FLAIR magnetic resonance.
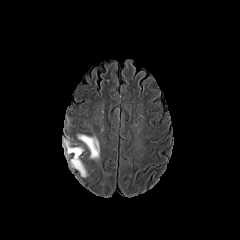
T1-weighted MRI.
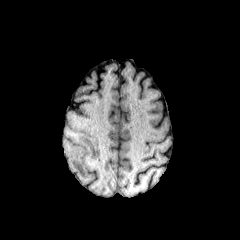
Post-contrast T1-weighted MR image.
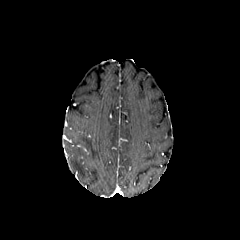
T2-weighted MR.
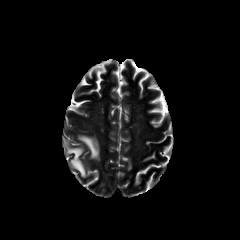
Axial slice
peritumoral edema: (left=64, top=140, right=86, bottom=177), (left=78, top=134, right=99, bottom=159)